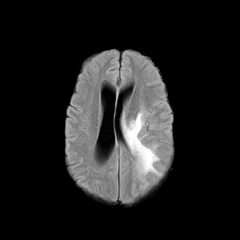
FLAIR MR image.
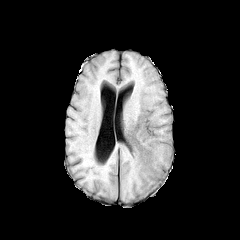
T1-weighted MR of the same slice.
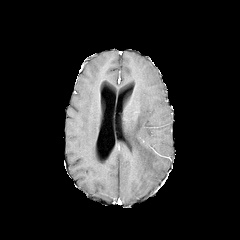
Post-contrast T1-weighted MR image.
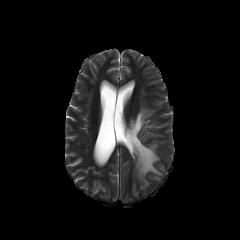
T2-weighted MR image of the same slice.
Head
{
  "peritumoral_edema": [
    "124,111,160,175"
  ]
}